Slice 77/155. Head.
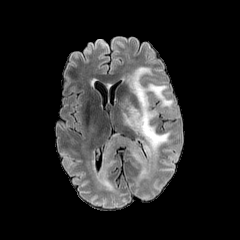
FLAIR MR image.
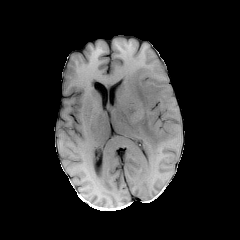
T1-weighted MR image of the same slice.
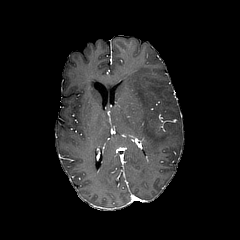
Post-contrast T1-weighted MR.
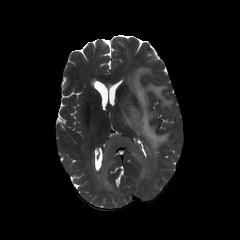
T2-weighted MRI of the same slice.
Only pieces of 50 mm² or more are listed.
peritumoral_edema:
  - x1=103, y1=136, x2=144, y2=163
  - x1=118, y1=66, x2=173, y2=157